FLAIR MR.
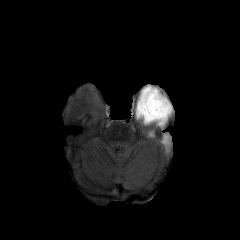
T1-weighted MR image.
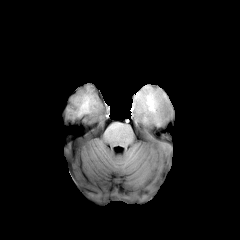
Post-contrast T1-weighted MRI.
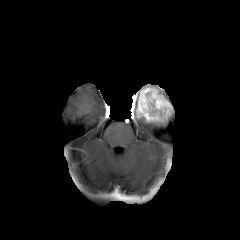
T2-weighted MRI.
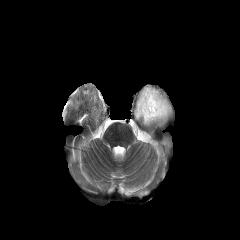
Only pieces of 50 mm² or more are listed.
enhancing tumor: bounding box bbox(135, 85, 173, 123)
peritumoral edema: bounding box bbox(134, 104, 166, 127); bbox(161, 134, 170, 151)